FLAIR MRI.
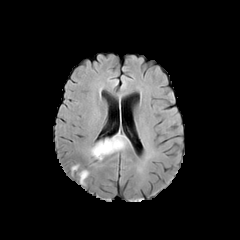
T1-weighted MR.
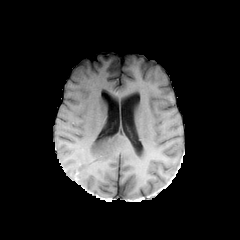
Post-contrast T1-weighted magnetic resonance.
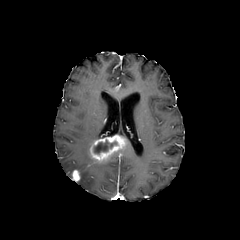
T2-weighted MR image.
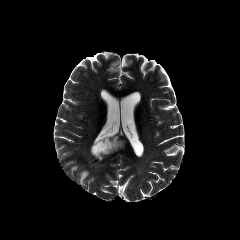
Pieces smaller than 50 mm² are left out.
<segmentation>
  <peritumoral_edema>(left=79, top=170, right=88, bottom=184)</peritumoral_edema>
  <enhancing_tumor>(left=72, top=170, right=79, bottom=181), (left=89, top=135, right=126, bottom=161)</enhancing_tumor>
  <necrotic_tumor_core>(left=94, top=141, right=116, bottom=153)</necrotic_tumor_core>
</segmentation>